Head; 240x240
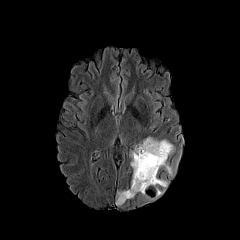
FLAIR MR.
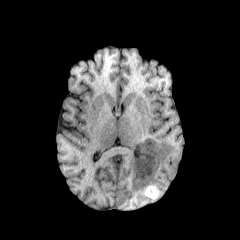
T1-weighted magnetic resonance.
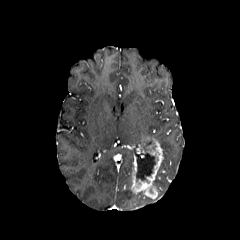
Same slice, post-contrast T1-weighted MRI.
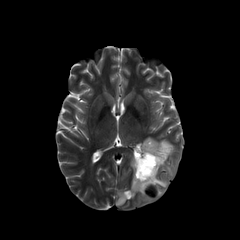
Same slice, T2-weighted magnetic resonance.
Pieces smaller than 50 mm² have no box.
enhancing tumor at x1=130, y1=138, x2=164, y2=193
peritumoral edema at x1=158, y1=140, x2=173, y2=175; x1=116, y1=189, x2=135, y2=206; x1=153, y1=177, x2=167, y2=195
necrotic tumor core at x1=135, y1=153, x2=155, y2=180